FLAIR magnetic resonance.
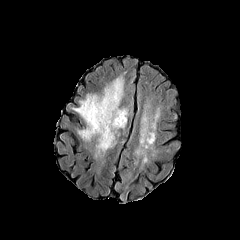
T1-weighted MRI.
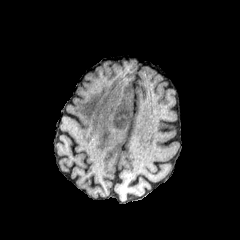
Post-contrast T1-weighted MR.
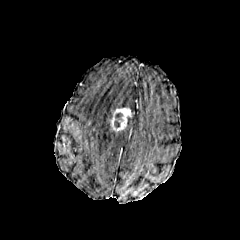
T2-weighted MR.
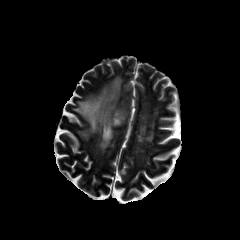
Head; 240x240 px
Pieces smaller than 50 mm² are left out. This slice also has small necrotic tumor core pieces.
Segmented structures:
* peritumoral edema: l=73, t=78, r=123, b=155
* enhancing tumor: l=110, t=107, r=132, b=131